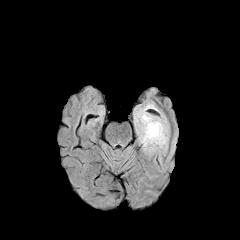
FLAIR magnetic resonance.
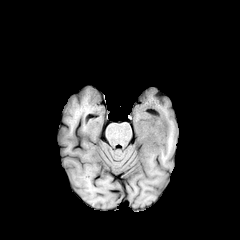
T1-weighted MRI.
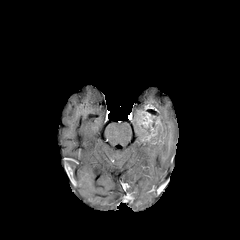
Post-contrast T1-weighted MR image of the same slice.
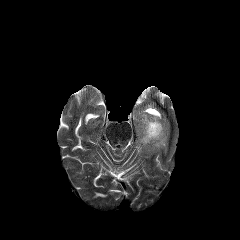
Same slice, T2-weighted MR.
Axial view, 240x240
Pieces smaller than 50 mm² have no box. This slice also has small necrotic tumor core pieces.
The peritumoral edema is at [x1=133, y1=102, x2=169, y2=154]. The enhancing tumor is located at [x1=136, y1=104, x2=164, y2=144].